FLAIR magnetic resonance.
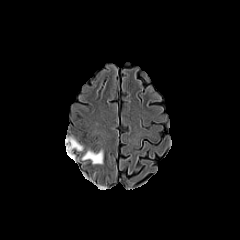
T1-weighted MRI.
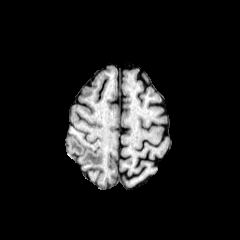
Post-contrast T1-weighted magnetic resonance.
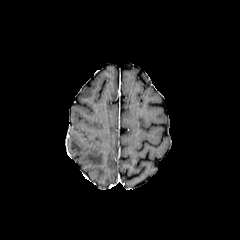
T2-weighted MR image.
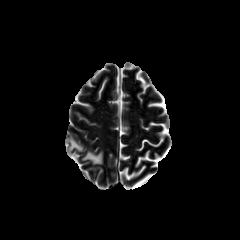
Axial slice
peritumoral edema = region(67, 138, 83, 160); region(82, 151, 102, 164)